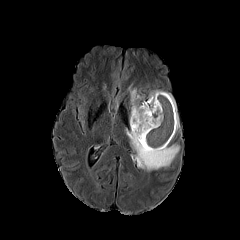
FLAIR MR image.
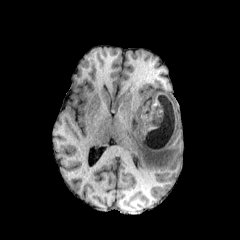
T1-weighted MR.
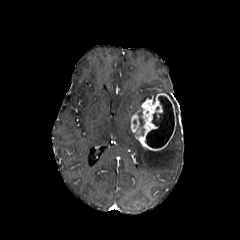
Post-contrast T1-weighted MR image of the same slice.
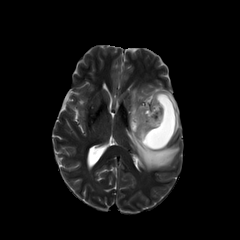
T2-weighted MR image.
Head. Axial plane.
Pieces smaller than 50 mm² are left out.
{
  "necrotic_tumor_core": [
    "(146,96,174,148)"
  ],
  "enhancing_tumor": [
    "(130,93,176,151)"
  ],
  "peritumoral_edema": [
    "(129,88,145,123)",
    "(125,129,179,171)",
    "(148,90,179,133)",
    "(138,109,144,126)"
  ]
}